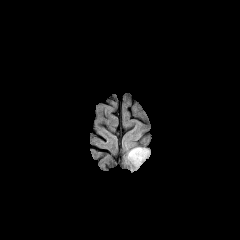
FLAIR MR.
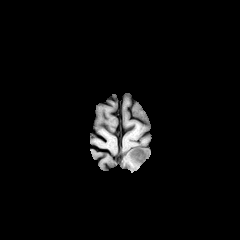
T1-weighted magnetic resonance.
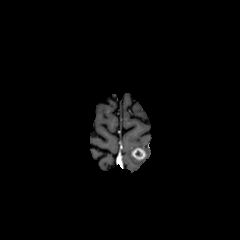
Post-contrast T1-weighted magnetic resonance.
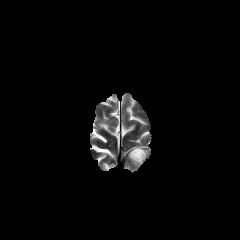
T2-weighted MR image.
240x240 px
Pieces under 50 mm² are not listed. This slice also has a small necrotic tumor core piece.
{"enhancing_tumor": ["[131,147,146,160]"], "peritumoral_edema": ["[123,149,145,171]"]}